FLAIR MR image.
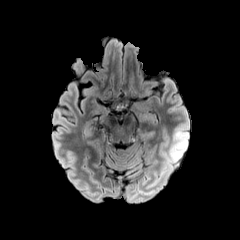
T1-weighted MR image.
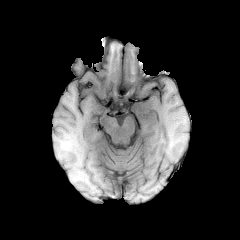
Post-contrast T1-weighted MR image.
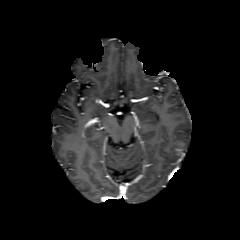
T2-weighted MR.
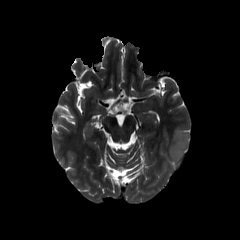
240x240 px | Brain
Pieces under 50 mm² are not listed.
The largest peritumoral edema region appears at 161 125 188 172. The enhancing tumor is bounded by 175 140 184 155.